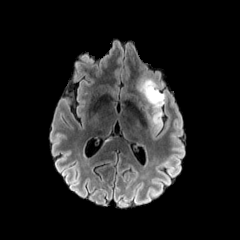
FLAIR MR.
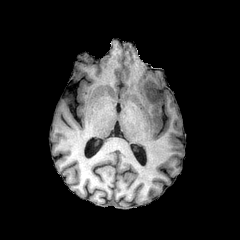
T1-weighted MR image.
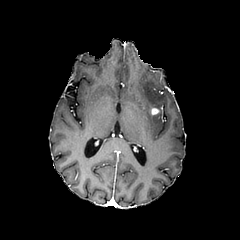
Post-contrast T1-weighted magnetic resonance of the same slice.
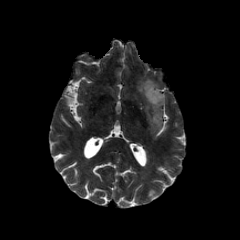
T2-weighted MR.
Axial plane | Brain
The enhancing tumor lies within 151:107:159:115. The peritumoral edema is at 137:77:165:132.